FLAIR MR.
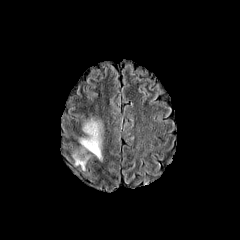
T1-weighted MRI.
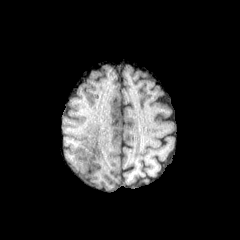
Post-contrast T1-weighted MR.
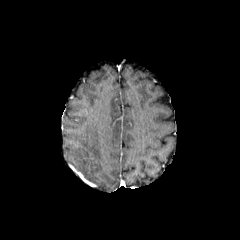
T2-weighted MRI.
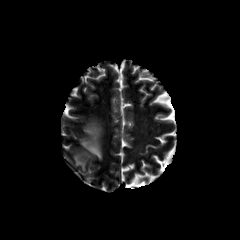
Image size 240x240
Annotated regions:
* peritumoral edema: bbox(73, 152, 90, 170); bbox(78, 118, 103, 160)